FLAIR MRI.
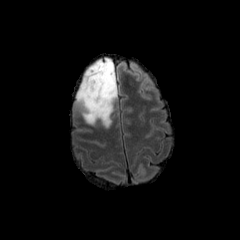
T1-weighted MRI.
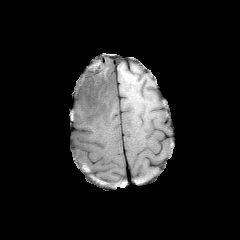
Post-contrast T1-weighted MR.
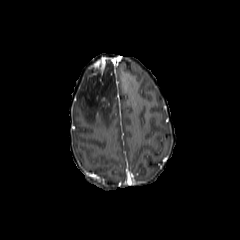
T2-weighted MRI.
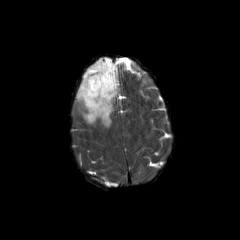
Brain | Axial slice
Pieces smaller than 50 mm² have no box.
peritumoral edema: bounding box <box>75,58,117,128</box>
enhancing tumor: bounding box <box>89,59,104,74</box>